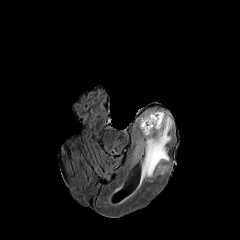
FLAIR MR.
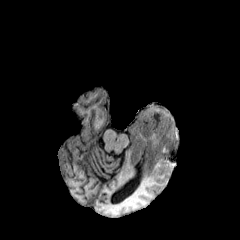
T1-weighted MR image.
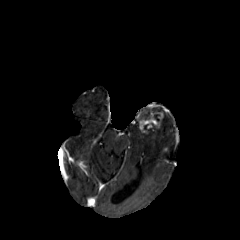
Post-contrast T1-weighted MRI.
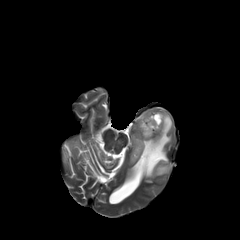
Same slice, T2-weighted MR.
Head.
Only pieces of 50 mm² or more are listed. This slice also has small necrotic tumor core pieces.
enhancing tumor = region(138, 112, 163, 133)
peritumoral edema = region(139, 112, 149, 119); region(135, 111, 172, 183)